Axial view | Image size 240x240 | Brain
FLAIR MR image.
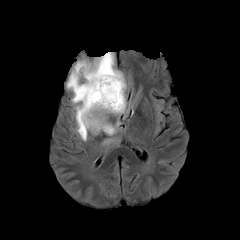
T1-weighted magnetic resonance.
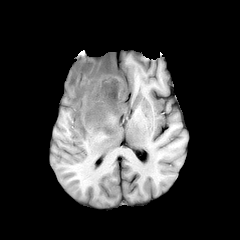
Post-contrast T1-weighted MR.
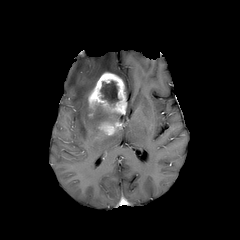
T2-weighted MR.
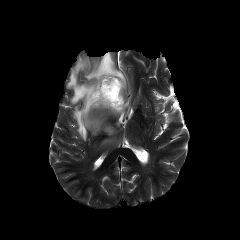
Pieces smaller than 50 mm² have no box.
Annotated regions:
- enhancing tumor: (98,121,119,135), (84,72,127,119)
- peritumoral edema: (66,52,126,141)
- necrotic tumor core: (100,80,119,105)